FLAIR MRI.
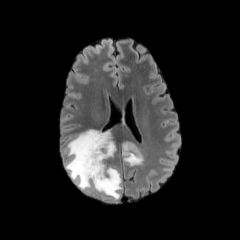
T1-weighted magnetic resonance.
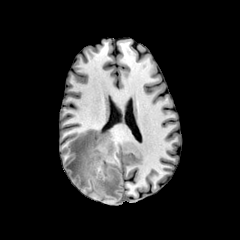
Post-contrast T1-weighted MR image.
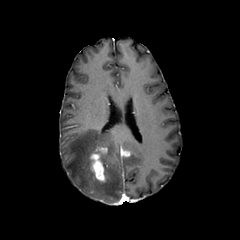
T2-weighted MR.
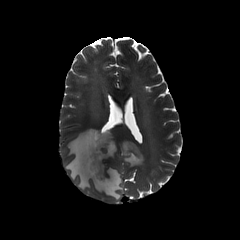
Axial view
{"enhancing_tumor": ["box(121, 148, 131, 157)", "box(90, 146, 107, 182)"], "peritumoral_edema": ["box(122, 141, 143, 165)", "box(65, 129, 122, 201)"]}